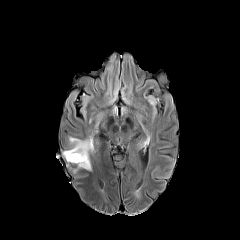
FLAIR magnetic resonance.
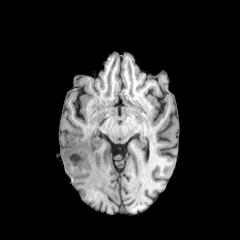
T1-weighted MR.
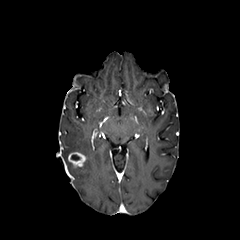
Same slice, post-contrast T1-weighted MRI.
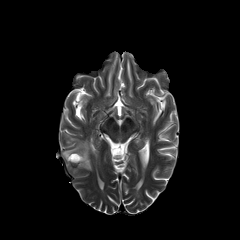
T2-weighted MR of the same slice.
Axial view
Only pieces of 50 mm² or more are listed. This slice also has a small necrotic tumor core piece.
enhancing tumor: <bbox>68, 152, 86, 166</bbox> | peritumoral edema: <bbox>63, 137, 91, 169</bbox>